FLAIR MR.
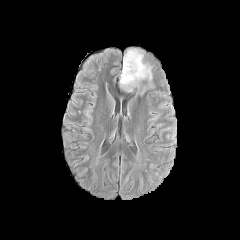
T1-weighted MR.
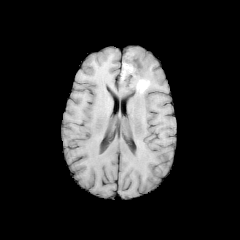
Post-contrast T1-weighted magnetic resonance.
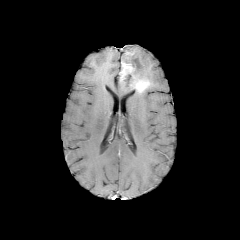
T2-weighted MR image.
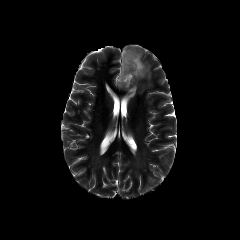
Head | Axial plane
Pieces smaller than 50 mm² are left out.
peritumoral edema: 119, 81, 132, 91; 127, 48, 152, 80 | necrotic tumor core: 123, 51, 140, 78; 121, 74, 133, 85 | enhancing tumor: 120, 62, 147, 91